Slice 78/155; 240x240 px
FLAIR MR.
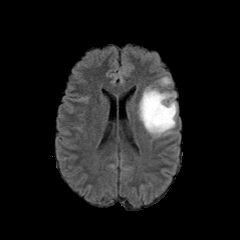
T1-weighted MR image.
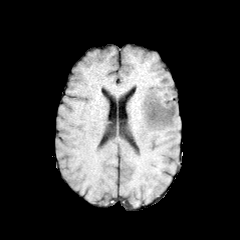
Post-contrast T1-weighted MRI.
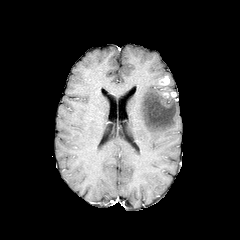
T2-weighted magnetic resonance.
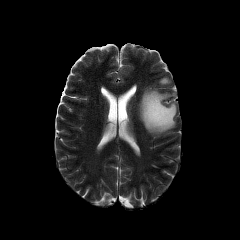
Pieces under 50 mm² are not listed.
<segmentation>
  <enhancing_tumor>159,76,169,85</enhancing_tumor>
  <peritumoral_edema>139,87,176,136</peritumoral_edema>
</segmentation>